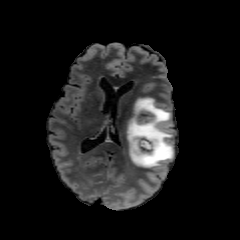
FLAIR MR image.
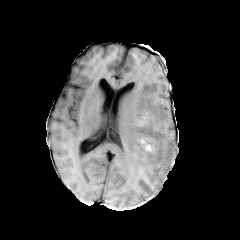
Same slice, T1-weighted magnetic resonance.
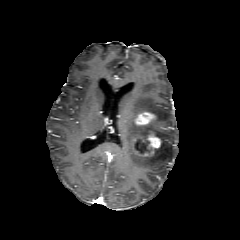
Post-contrast T1-weighted MR image.
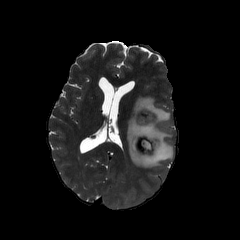
T2-weighted MRI.
Axial view | Brain
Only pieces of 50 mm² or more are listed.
{
  "necrotic_tumor_core": [
    "(136, 140, 149, 152)",
    "(141, 126, 152, 135)"
  ],
  "enhancing_tumor": [
    "(128, 111, 167, 160)"
  ],
  "peritumoral_edema": [
    "(128, 97, 173, 168)",
    "(126, 117, 140, 142)"
  ]
}